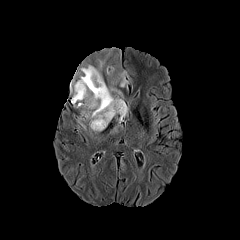
FLAIR MR.
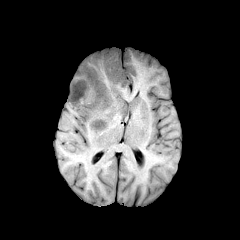
T1-weighted MR image.
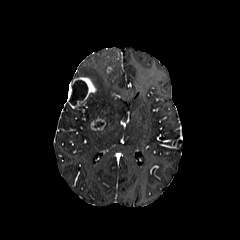
Post-contrast T1-weighted MR image.
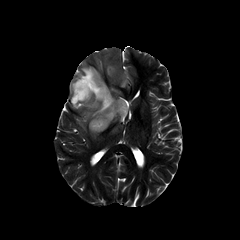
Same slice, T2-weighted MRI.
240x240 | Axial view
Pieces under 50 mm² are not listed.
The largest necrotic tumor core region is at (69,80,87,105). The 2 largest peritumoral edema regions appear at (73,48,128,134), (77,117,86,129). The 2 largest enhancing tumor regions appear at (67,77,96,108), (90,117,106,130).